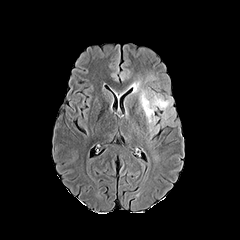
FLAIR MR.
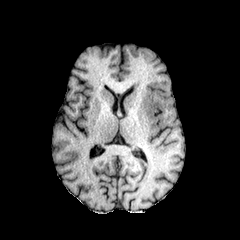
Same slice, T1-weighted MRI.
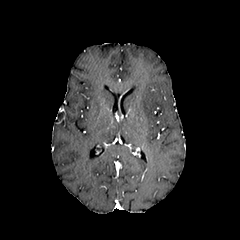
Post-contrast T1-weighted MRI.
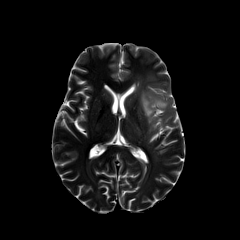
T2-weighted magnetic resonance.
Axial view
{"peritumoral_edema": ["132 81 140 92", "140 90 169 123"]}